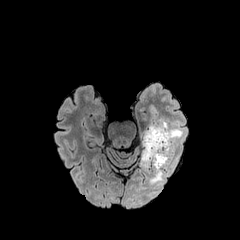
FLAIR magnetic resonance.
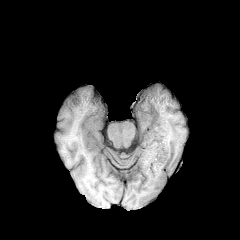
Same slice, T1-weighted MRI.
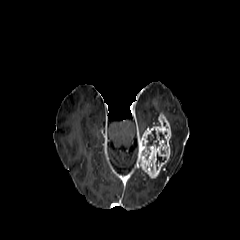
Same slice, post-contrast T1-weighted MR image.
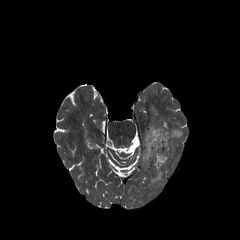
T2-weighted magnetic resonance of the same slice.
Brain
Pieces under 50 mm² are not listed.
peritumoral edema: region(163, 119, 183, 166); region(149, 167, 163, 184)
necrotic tumor core: region(156, 153, 165, 164); region(147, 129, 156, 146)
enhancing tumor: region(140, 114, 171, 177)